Slice 91/155.
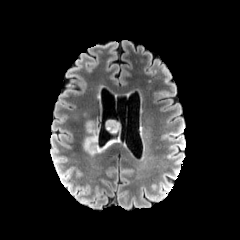
FLAIR MRI.
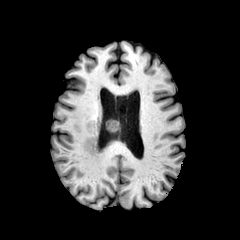
T1-weighted MR image.
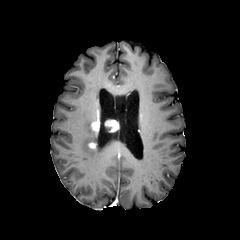
Post-contrast T1-weighted MR.
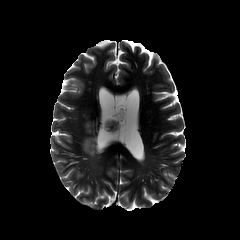
T2-weighted MR of the same slice.
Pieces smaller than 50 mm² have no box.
The largest peritumoral edema region is bounded by 83:122:99:155. 3 enhancing tumor regions are bounded by 91:119:99:134, 105:120:119:132, 88:142:96:149.